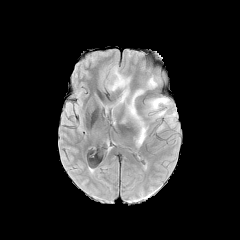
FLAIR MRI.
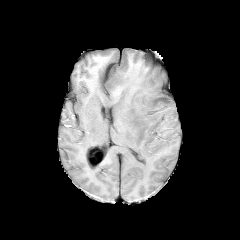
T1-weighted MR image.
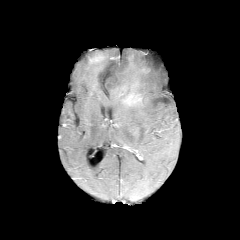
Post-contrast T1-weighted MR image.
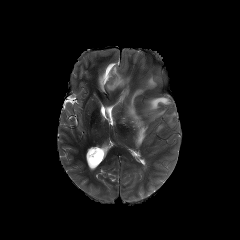
T2-weighted MRI of the same slice.
Image size 240x240. Axial view.
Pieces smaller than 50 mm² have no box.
enhancing_tumor:
  - left=109, top=56, right=120, bottom=60
peritumoral_edema:
  - left=106, top=48, right=167, bottom=146
  - left=146, top=97, right=171, bottom=118
  - left=166, top=112, right=175, bottom=125
  - left=100, top=71, right=108, bottom=84